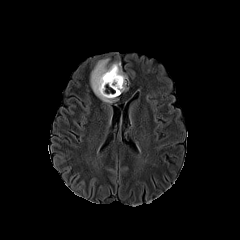
FLAIR MRI.
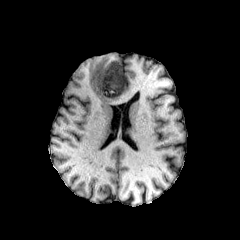
T1-weighted MR.
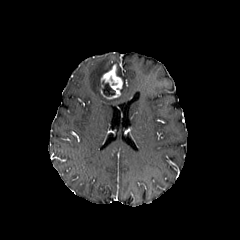
Post-contrast T1-weighted MR.
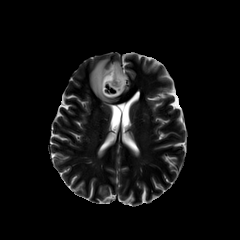
T2-weighted magnetic resonance.
Head | 240x240 px
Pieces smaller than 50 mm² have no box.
Annotated regions:
- peritumoral edema: rect(90, 58, 127, 103)
- enhancing tumor: rect(100, 64, 122, 99)
- necrotic tumor core: rect(102, 81, 115, 96)